Axial plane, Slice 90 of 155, Brain
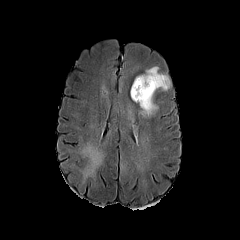
FLAIR magnetic resonance.
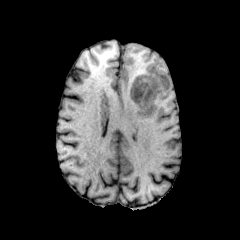
T1-weighted MRI.
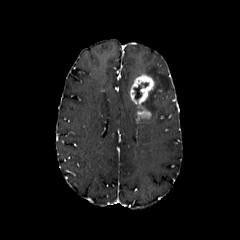
Post-contrast T1-weighted MR of the same slice.
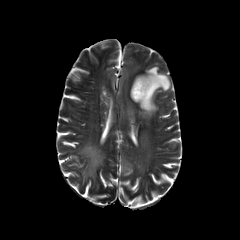
Same slice, T2-weighted MR.
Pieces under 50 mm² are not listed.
necrotic tumor core — 134 85 141 99
enhancing tumor — 130 74 154 118
peritumoral edema — 142 66 170 113